Axial slice. 240x240 px. Image covers 240 mm x 240 mm. Slice 68 of 155.
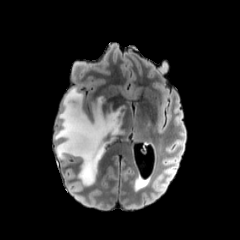
FLAIR MR image.
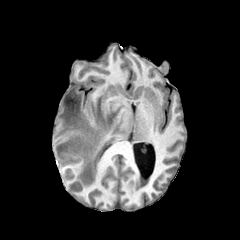
T1-weighted MRI of the same slice.
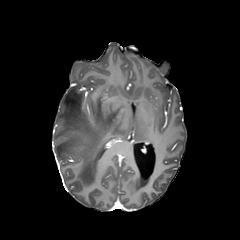
Post-contrast T1-weighted magnetic resonance of the same slice.
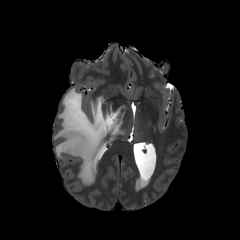
Same slice, T2-weighted MR.
peritumoral edema at bbox(54, 87, 125, 186)